FLAIR MRI.
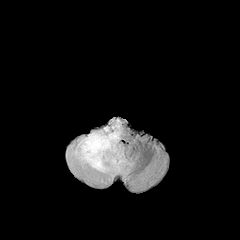
T1-weighted MR image.
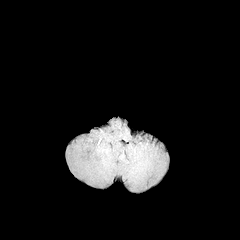
Post-contrast T1-weighted MRI.
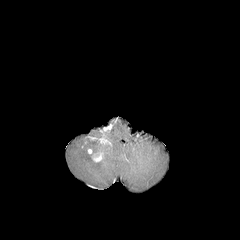
T2-weighted MR.
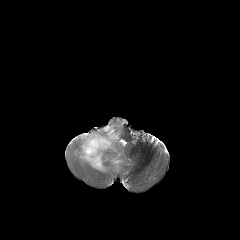
Head
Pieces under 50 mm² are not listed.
The 2 largest enhancing tumor regions appear at bbox=[99, 138, 109, 144]; bbox=[92, 153, 102, 162]. The peritumoral edema is located at bbox=[66, 118, 133, 183].